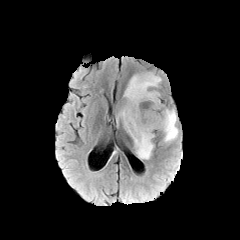
FLAIR magnetic resonance.
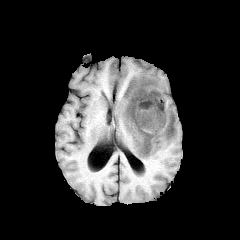
T1-weighted MR image of the same slice.
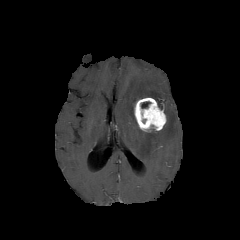
Post-contrast T1-weighted MR.
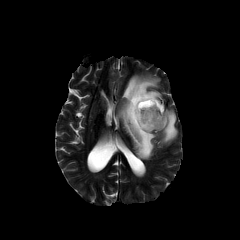
T2-weighted MR image of the same slice.
Axial view
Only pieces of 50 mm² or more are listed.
2 peritumoral edema regions are located at box(116, 73, 162, 159); box(160, 107, 178, 143). The enhancing tumor is located at box(134, 97, 166, 131). The largest necrotic tumor core region is at box(141, 102, 150, 108).